FLAIR MR image.
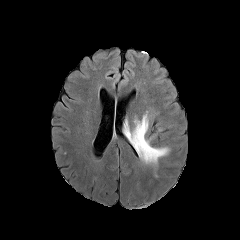
T1-weighted MRI.
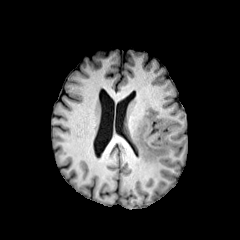
Post-contrast T1-weighted MR.
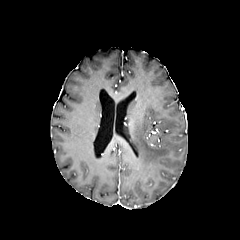
T2-weighted magnetic resonance.
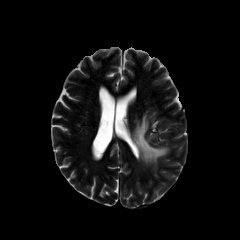
Axial view. 240x240.
{
  "peritumoral_edema": [
    "<bbox>126, 114, 169, 165</bbox>"
  ]
}